FLAIR magnetic resonance.
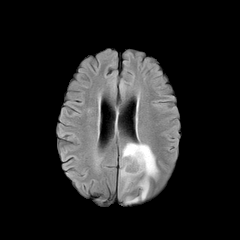
T1-weighted MR.
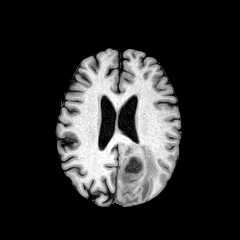
Post-contrast T1-weighted magnetic resonance.
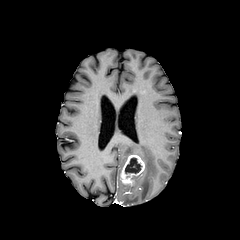
T2-weighted MR.
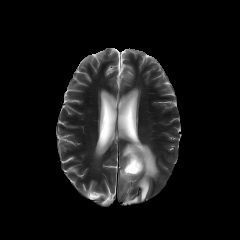
Brain.
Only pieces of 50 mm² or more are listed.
enhancing tumor: region(120, 154, 144, 186)
necrotic tumor core: region(125, 157, 141, 173)
peritumoral edema: region(122, 143, 158, 203)